Slice index 102, 240x240
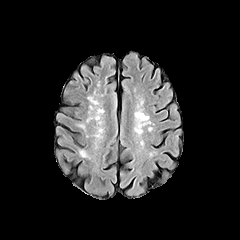
FLAIR MRI.
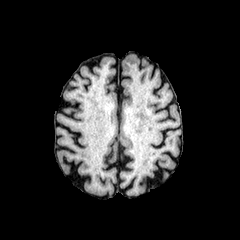
T1-weighted MRI.
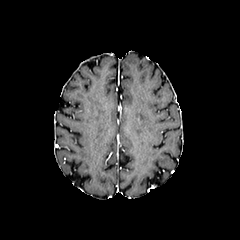
Same slice, post-contrast T1-weighted MR.
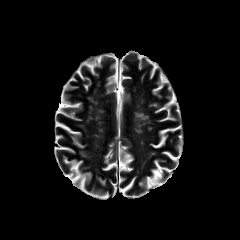
T2-weighted MR.
peritumoral edema: [76,124,86,130]